FLAIR MRI.
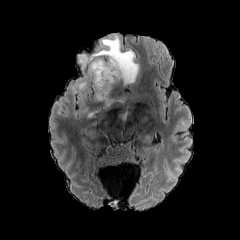
T1-weighted MR.
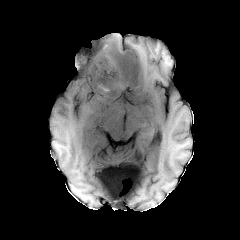
Post-contrast T1-weighted magnetic resonance.
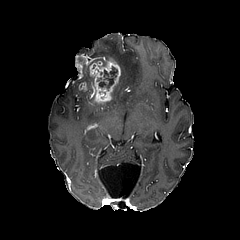
T2-weighted MR.
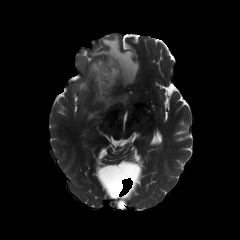
Axial plane
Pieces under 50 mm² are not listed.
necrotic_tumor_core:
  - 99, 66, 117, 88
peritumoral_edema:
  - 78, 34, 138, 83
enhancing_tumor:
  - 78, 81, 87, 91
  - 88, 57, 122, 105